Slice index 129
FLAIR MR image.
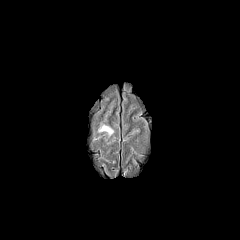
T1-weighted magnetic resonance.
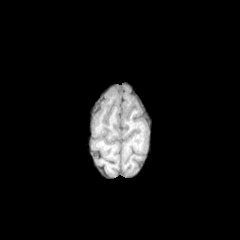
Post-contrast T1-weighted MR image.
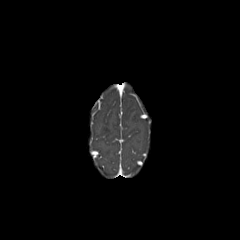
T2-weighted MR image.
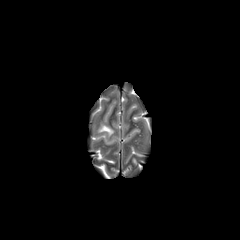
peritumoral_edema:
  - (left=98, top=125, right=113, bottom=135)